Image width 240 mm.
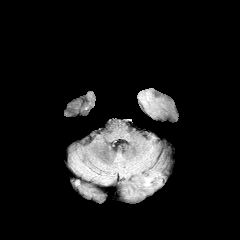
FLAIR MRI.
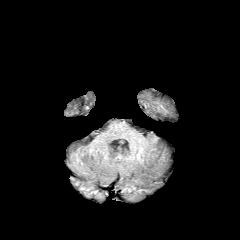
Same slice, T1-weighted MRI.
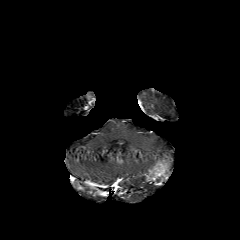
Post-contrast T1-weighted MR image.
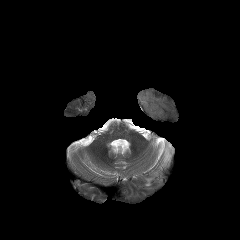
T2-weighted magnetic resonance of the same slice.
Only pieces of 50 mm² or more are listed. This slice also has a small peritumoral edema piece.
The enhancing tumor is located at (x1=145, y1=159, x2=169, y2=185).